Slice 97/155; Image width 240 mm
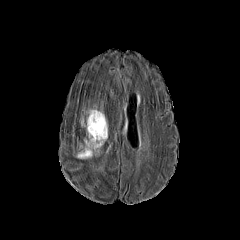
FLAIR MR.
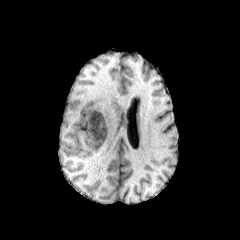
T1-weighted MRI of the same slice.
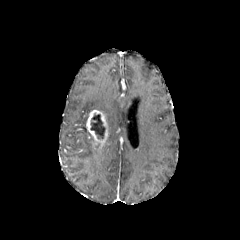
Same slice, post-contrast T1-weighted MR.
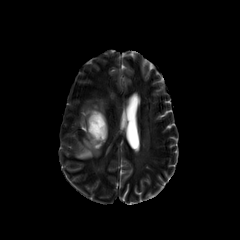
T2-weighted MR.
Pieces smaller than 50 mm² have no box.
The largest peritumoral edema region is bounded by bbox(77, 131, 99, 158). The largest necrotic tumor core region is at bbox(90, 114, 105, 138). The largest enhancing tumor region is at bbox(86, 109, 108, 149).